FLAIR MRI.
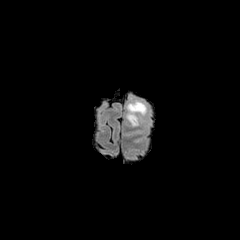
T1-weighted magnetic resonance.
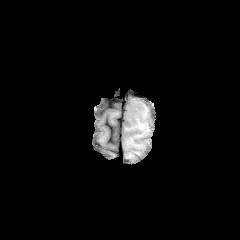
Post-contrast T1-weighted MRI.
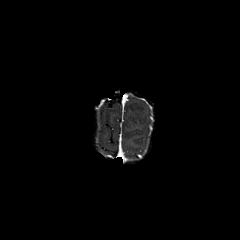
T2-weighted MRI.
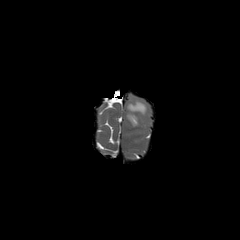
Head
Findings:
* peritumoral edema: box(127, 101, 146, 125)